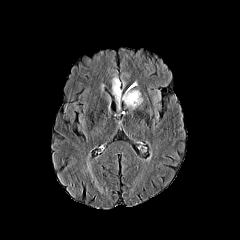
FLAIR magnetic resonance.
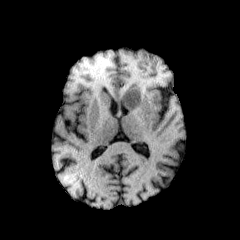
Same slice, T1-weighted MR.
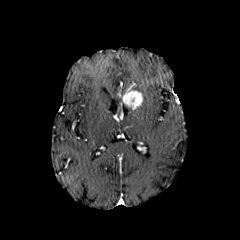
Post-contrast T1-weighted MRI.
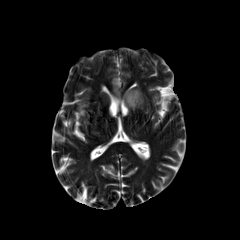
T2-weighted MR.
240x240.
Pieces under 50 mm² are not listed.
The largest enhancing tumor region appears at <box>122,88,142,109</box>. The peritumoral edema lies within <box>112,76,120,107</box>.